FLAIR MR.
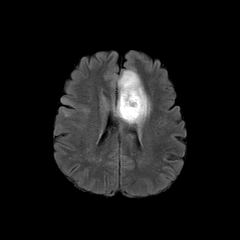
T1-weighted MR image.
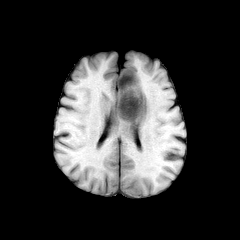
Post-contrast T1-weighted MR image.
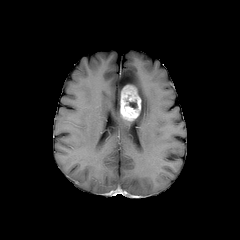
T2-weighted magnetic resonance.
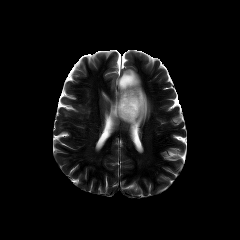
Head
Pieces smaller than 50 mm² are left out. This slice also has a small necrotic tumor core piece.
- peritumoral edema: region(114, 69, 150, 126)
- enhancing tumor: region(120, 84, 141, 121)